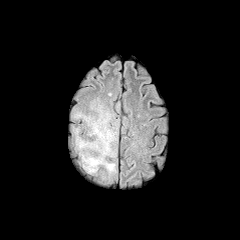
FLAIR MR.
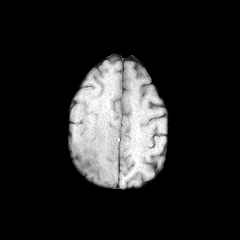
T1-weighted MRI.
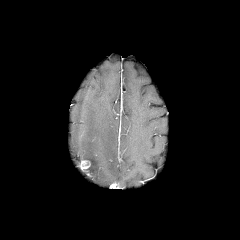
Post-contrast T1-weighted magnetic resonance of the same slice.
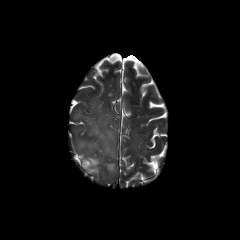
T2-weighted MR.
Axial slice, 240x240
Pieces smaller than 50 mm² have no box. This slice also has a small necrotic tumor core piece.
peritumoral edema: bounding box bbox=[74, 104, 117, 176]
enhancing tumor: bounding box bbox=[80, 160, 90, 169]